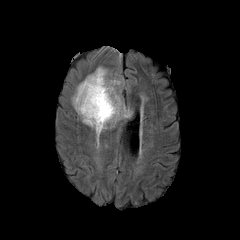
FLAIR magnetic resonance.
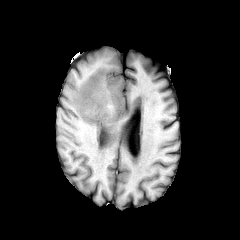
T1-weighted magnetic resonance.
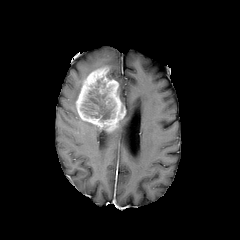
Post-contrast T1-weighted magnetic resonance of the same slice.
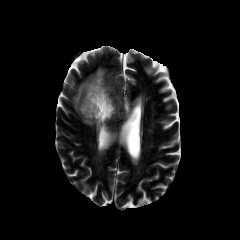
T2-weighted MRI.
Brain | Axial view
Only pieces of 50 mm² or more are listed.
The largest necrotic tumor core region is located at (83,89,113,120). The largest enhancing tumor region is bounded by (75,67,126,132). The 2 largest peritumoral edema regions appear at (71,82,82,111), (82,120,100,133).